Axial view | Image width 240 mm | Brain | 240x240 px
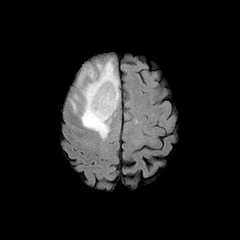
FLAIR MR.
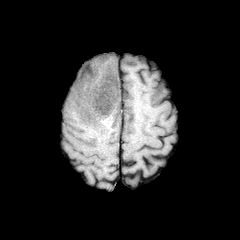
T1-weighted MR.
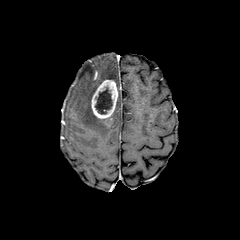
Same slice, post-contrast T1-weighted MR.
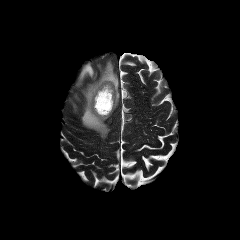
T2-weighted magnetic resonance.
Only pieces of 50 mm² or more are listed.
Annotated regions:
• peritumoral edema: 77,60,118,138
• enhancing tumor: 91,80,118,118
• necrotic tumor core: 95,87,112,114